Slice index 77; 240x240 px; Axial slice; Brain
FLAIR MR image.
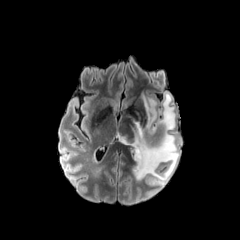
T1-weighted MR image.
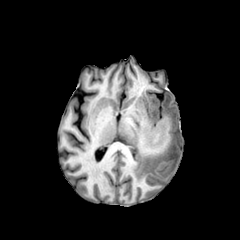
Post-contrast T1-weighted MR image.
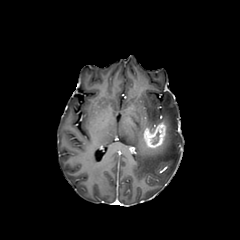
T2-weighted MR image.
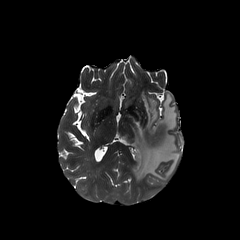
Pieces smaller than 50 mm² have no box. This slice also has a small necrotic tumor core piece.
Segmented structures:
* enhancing tumor: 143:121:166:149
* peritumoral edema: 119:92:180:185